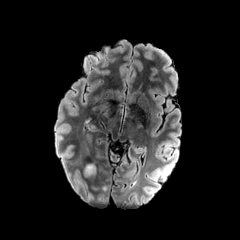
FLAIR magnetic resonance.
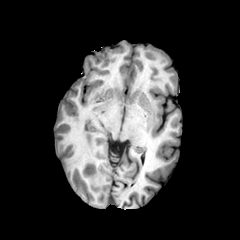
T1-weighted magnetic resonance of the same slice.
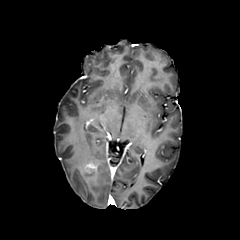
Post-contrast T1-weighted MR image of the same slice.
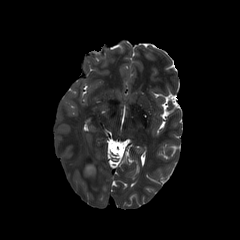
Same slice, T2-weighted MRI.
240x240 px. Brain.
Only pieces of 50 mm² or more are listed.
enhancing tumor at (86, 163, 96, 172)
peritumoral edema at (82, 165, 97, 181)